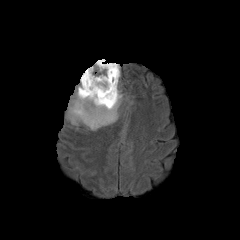
FLAIR MRI.
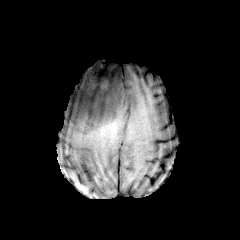
Same slice, T1-weighted MR.
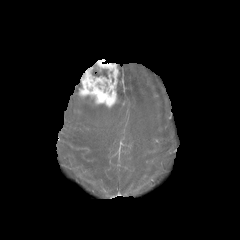
Post-contrast T1-weighted magnetic resonance of the same slice.
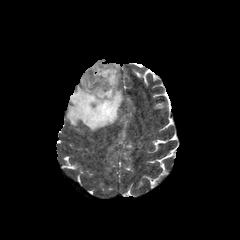
T2-weighted magnetic resonance.
240x240 px. Brain.
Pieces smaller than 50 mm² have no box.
The enhancing tumor is at <bbox>78, 59, 118, 107</bbox>. The largest necrotic tumor core region is located at <bbox>92, 68, 108, 78</bbox>. The largest peritumoral edema region is located at <bbox>66, 64, 122, 130</bbox>.